Brain; Axial view; 240x240 px
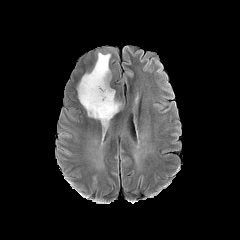
FLAIR magnetic resonance.
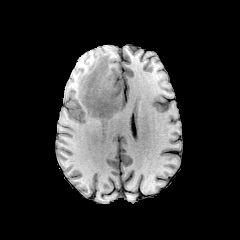
T1-weighted MRI.
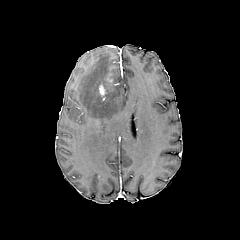
Post-contrast T1-weighted magnetic resonance of the same slice.
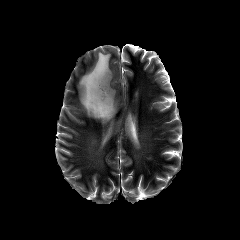
T2-weighted MR.
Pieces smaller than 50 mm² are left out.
The largest enhancing tumor region appears at 99:85:105:95. The peritumoral edema lies within 78:52:121:127.